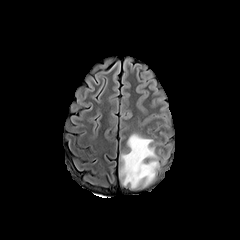
FLAIR MRI.
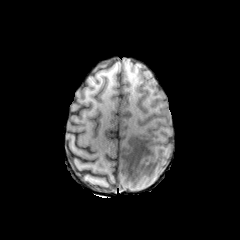
T1-weighted MR.
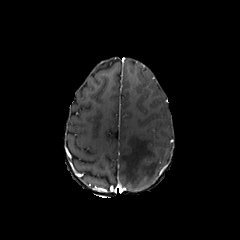
Post-contrast T1-weighted MR image.
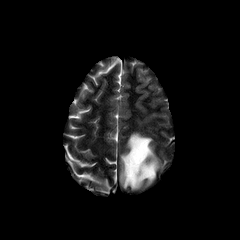
T2-weighted MRI.
Brain; Axial slice; 240x240
The peritumoral edema appears at bbox=[120, 133, 159, 188].